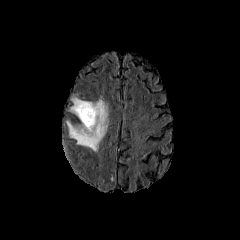
FLAIR MRI.
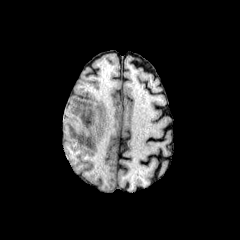
Same slice, T1-weighted magnetic resonance.
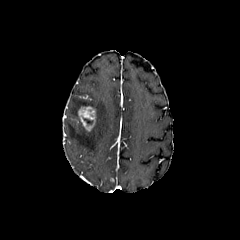
Same slice, post-contrast T1-weighted MR.
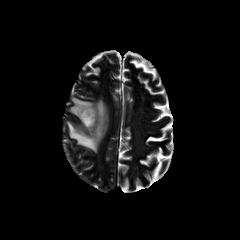
T2-weighted MRI.
240x240
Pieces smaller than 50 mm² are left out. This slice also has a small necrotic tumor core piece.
Segmented structures:
• enhancing tumor: [78,106,96,131]
• peritumoral edema: [66,97,108,151]